FLAIR MRI.
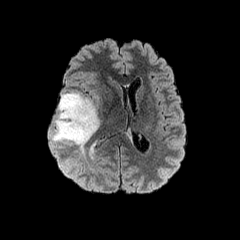
T1-weighted MR.
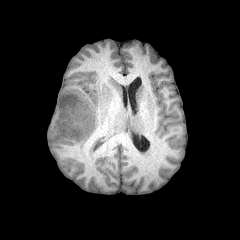
Post-contrast T1-weighted MRI.
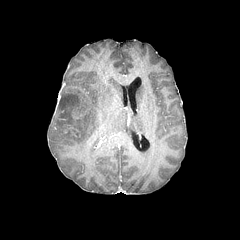
T2-weighted MRI.
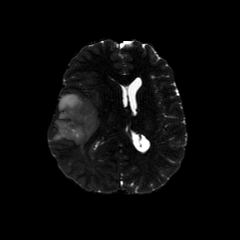
Image size 240x240
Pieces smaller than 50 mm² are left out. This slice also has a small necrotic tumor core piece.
peritumoral edema: bounding box left=52, top=92, right=99, bottom=150
enhancing tumor: bounding box left=62, top=125, right=80, bottom=137